FLAIR MR image.
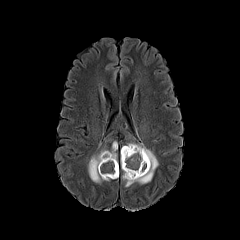
T1-weighted magnetic resonance.
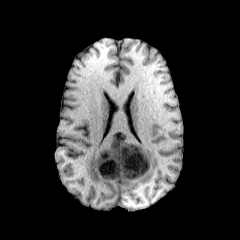
Post-contrast T1-weighted MR.
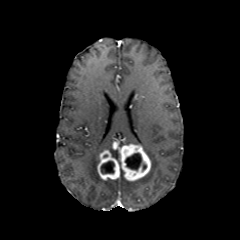
T2-weighted MR image.
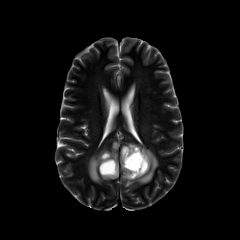
Axial view. 240x240 px.
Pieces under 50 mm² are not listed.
necrotic tumor core — (100,161,114,173), (125,153,142,170)
peritumoral edema — (122,142,158,187), (88,147,106,183), (110,149,117,159)
enhancing tumor — (112,141,118,149), (119,144,151,180), (97,150,119,180)